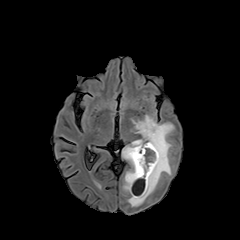
FLAIR MRI.
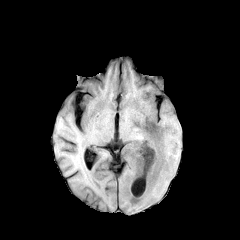
Same slice, T1-weighted MRI.
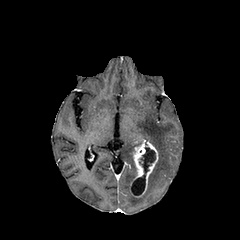
Same slice, post-contrast T1-weighted MRI.
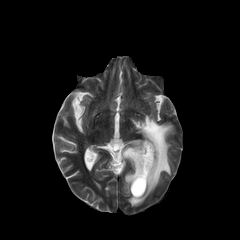
T2-weighted MR image.
Brain. Axial slice.
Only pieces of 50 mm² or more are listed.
necrotic_tumor_core:
  - rect(132, 147, 155, 195)
peritumoral_edema:
  - rect(122, 115, 173, 206)
enhancing_tumor:
  - rect(132, 140, 158, 196)